Axial plane; Slice 28 of 155; Brain
FLAIR MR image.
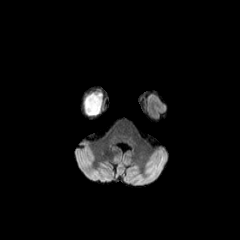
T1-weighted magnetic resonance.
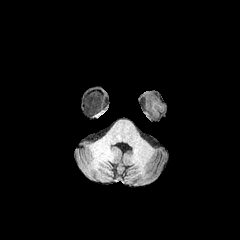
Post-contrast T1-weighted MR.
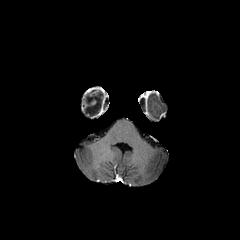
T2-weighted MR image.
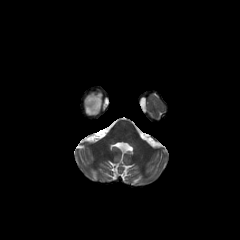
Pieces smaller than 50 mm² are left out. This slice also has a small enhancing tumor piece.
The peritumoral edema is at 84,92,102,115.